FLAIR MR.
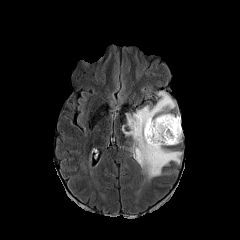
T1-weighted magnetic resonance.
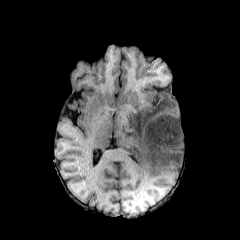
Post-contrast T1-weighted magnetic resonance.
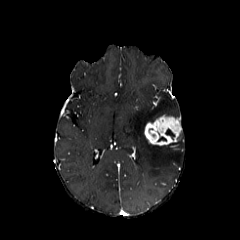
T2-weighted MRI.
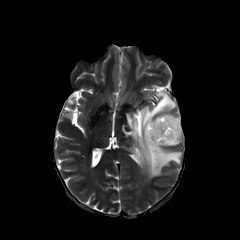
Head.
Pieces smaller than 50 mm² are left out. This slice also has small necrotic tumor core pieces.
enhancing tumor: bbox=[144, 115, 181, 145] | peritumoral edema: bbox=[122, 92, 182, 179]